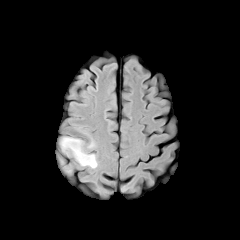
FLAIR MR.
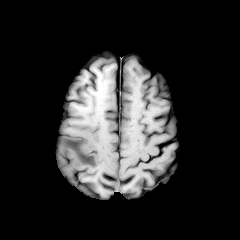
T1-weighted magnetic resonance.
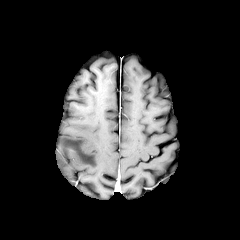
Post-contrast T1-weighted MR.
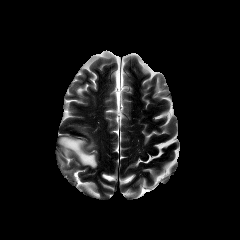
T2-weighted MR image.
Brain.
peritumoral_edema:
  - 60, 137, 97, 168
  - 57, 158, 73, 176